Brain | Axial slice | Image size 240x240 | Slice 54 of 155
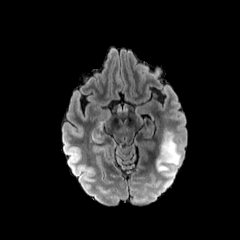
FLAIR MR image.
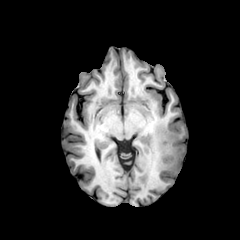
T1-weighted MR.
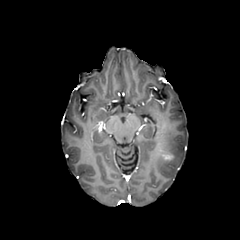
Same slice, post-contrast T1-weighted MRI.
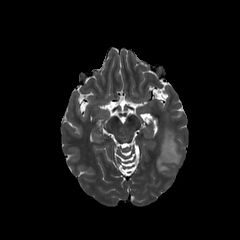
T2-weighted magnetic resonance.
peritumoral_edema:
  - <box>156,130,181,176</box>
enhancing_tumor:
  - <box>163,154,173,159</box>